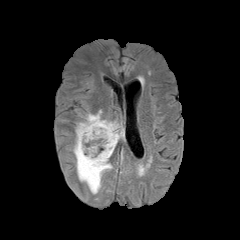
FLAIR MR.
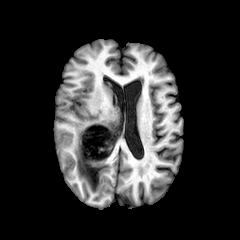
T1-weighted MR.
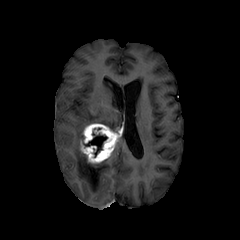
Post-contrast T1-weighted MR.
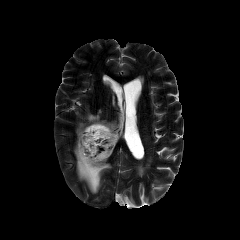
T2-weighted MR.
240x240; Axial plane; Head
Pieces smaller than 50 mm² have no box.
<segmentation>
  <enhancing_tumor>[79, 123, 120, 164]</enhancing_tumor>
  <necrotic_tumor_core>[84, 132, 107, 156]</necrotic_tumor_core>
  <peritumoral_edema>[73, 109, 121, 194]</peritumoral_edema>
</segmentation>